Axial plane; Image size 240x240
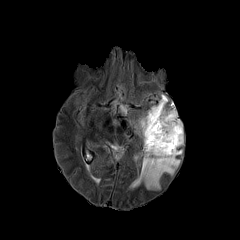
FLAIR MRI.
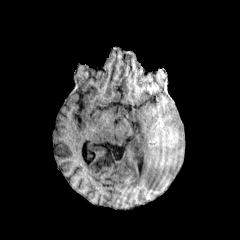
T1-weighted MRI.
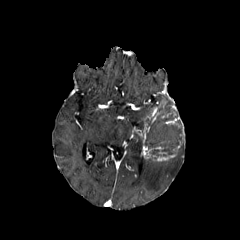
Post-contrast T1-weighted magnetic resonance of the same slice.
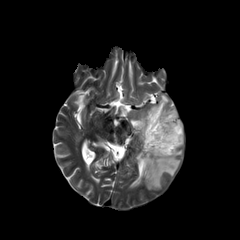
T2-weighted MR image.
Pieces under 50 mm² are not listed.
necrotic tumor core: region(145, 104, 182, 159) | peritumoral edema: region(141, 157, 180, 189) | enhancing tumor: region(144, 101, 166, 122); region(153, 151, 175, 161); region(165, 117, 179, 127); region(141, 122, 163, 159)